Axial slice
FLAIR MRI.
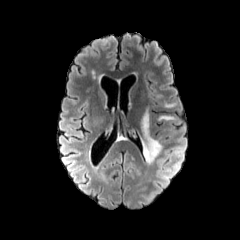
T1-weighted MRI.
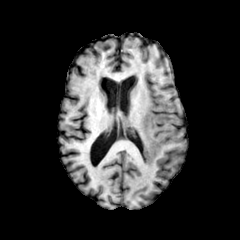
Post-contrast T1-weighted MR image.
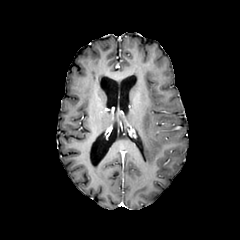
T2-weighted MR.
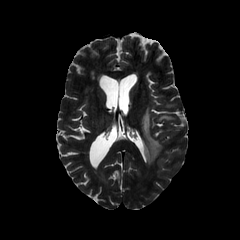
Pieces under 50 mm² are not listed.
peritumoral edema — <bbox>158, 115, 174, 120</bbox>, <bbox>141, 109, 161, 163</bbox>